Image size 240x240
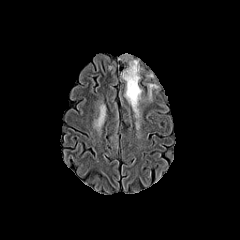
FLAIR MR.
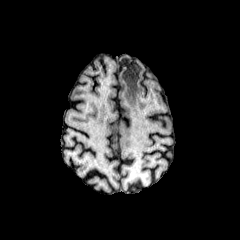
T1-weighted MR image of the same slice.
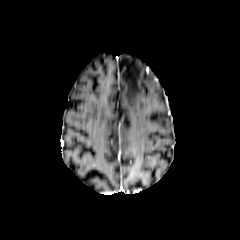
Post-contrast T1-weighted MR.
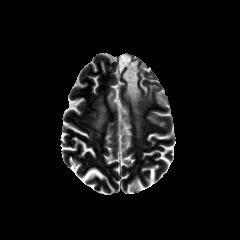
T2-weighted MRI of the same slice.
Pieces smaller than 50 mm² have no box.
The 3 largest peritumoral edema regions are located at (x1=149, y1=84, x2=156, y2=98), (x1=120, y1=56, x2=141, y2=117), (x1=95, y1=105, x2=105, y2=126).